FLAIR MR.
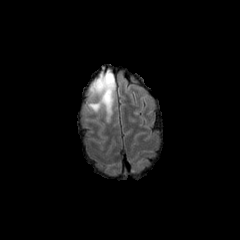
T1-weighted MR.
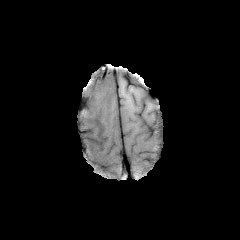
Post-contrast T1-weighted magnetic resonance.
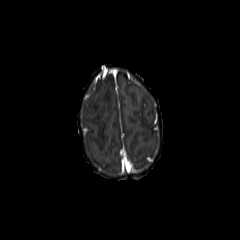
T2-weighted magnetic resonance.
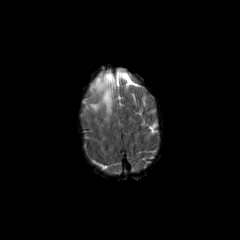
Image size 240x240. Brain.
peritumoral edema: bounding box x1=88, y1=70, x2=115, y2=122